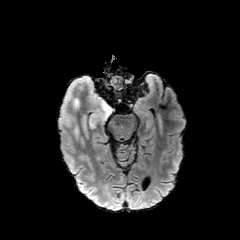
FLAIR magnetic resonance.
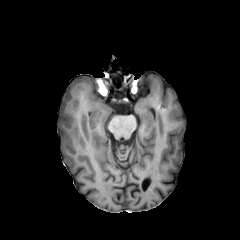
T1-weighted MR image of the same slice.
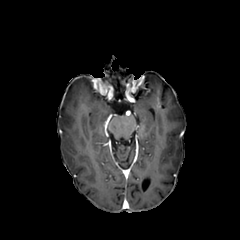
Post-contrast T1-weighted MR.
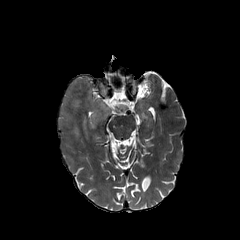
Same slice, T2-weighted MRI.
Brain | Axial plane
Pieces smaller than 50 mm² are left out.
<segmentation>
  <peritumoral_edema>bbox=[72, 123, 79, 138]; bbox=[59, 75, 112, 146]</peritumoral_edema>
</segmentation>